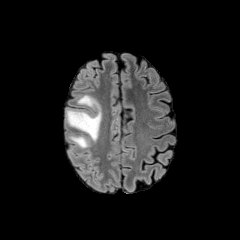
FLAIR MRI.
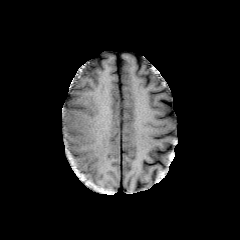
T1-weighted MRI.
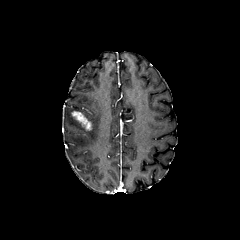
Same slice, post-contrast T1-weighted MR.
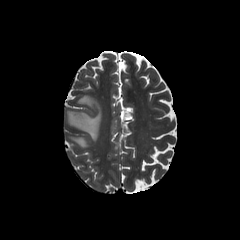
T2-weighted MR of the same slice.
Image size 240x240. Axial plane.
- peritumoral edema: 66 95 101 148
- enhancing tumor: 71 111 92 131